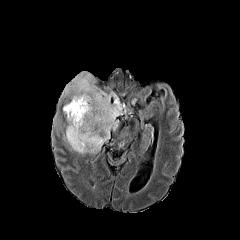
FLAIR MRI.
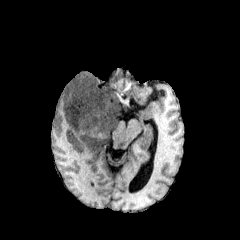
Same slice, T1-weighted MR image.
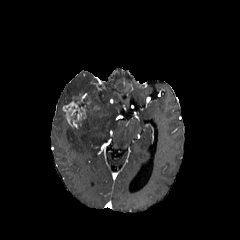
Post-contrast T1-weighted MR.
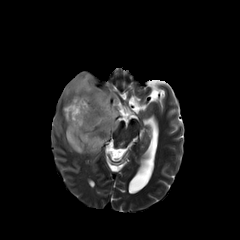
T2-weighted MRI.
Axial slice; Head
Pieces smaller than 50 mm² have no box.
The enhancing tumor appears at <box>63,93,99,129</box>. The largest necrotic tumor core region lies within <box>79,97,88,107</box>. The peritumoral edema is bounded by <box>61,72,121,153</box>.